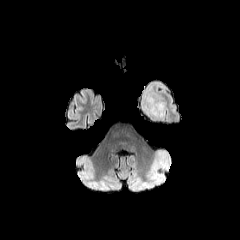
FLAIR MRI.
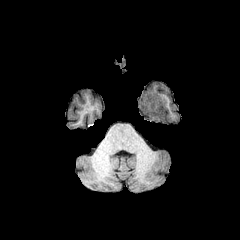
T1-weighted magnetic resonance.
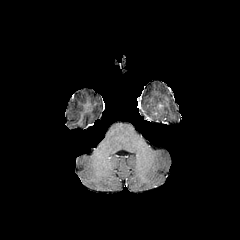
Post-contrast T1-weighted MR image.
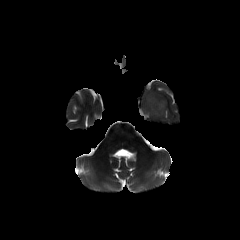
T2-weighted MRI of the same slice.
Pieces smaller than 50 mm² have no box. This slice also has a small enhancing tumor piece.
Findings:
• peritumoral edema: rect(140, 92, 165, 121)